FLAIR magnetic resonance.
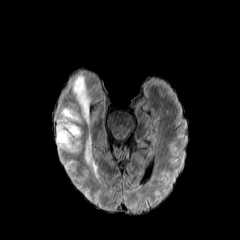
T1-weighted magnetic resonance.
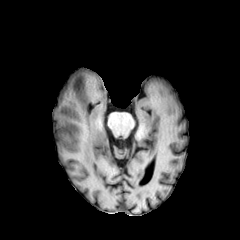
Post-contrast T1-weighted MR.
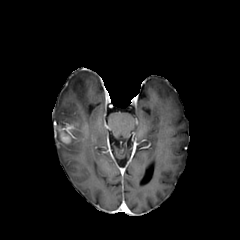
T2-weighted MR image.
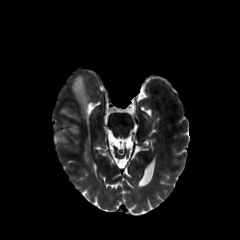
240x240
Segmented structures:
- peritumoral edema: {"x1": 57, "y1": 108, "x2": 79, "y2": 126}, {"x1": 73, "y1": 75, "x2": 89, "y2": 121}, {"x1": 85, "y1": 138, "x2": 97, "y2": 175}, {"x1": 73, "y1": 125, "x2": 80, "y2": 138}, {"x1": 56, "y1": 129, "x2": 74, "y2": 150}
- enhancing tumor: {"x1": 56, "y1": 123, "x2": 76, "y2": 144}